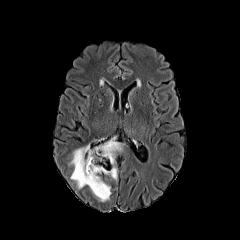
FLAIR MRI.
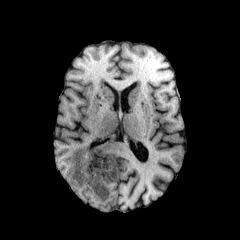
T1-weighted magnetic resonance of the same slice.
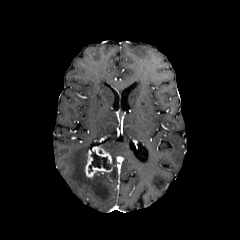
Same slice, post-contrast T1-weighted MRI.
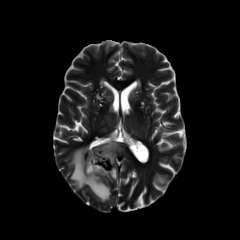
T2-weighted MR of the same slice.
Brain
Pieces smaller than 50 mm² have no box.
peritumoral edema = left=97, top=166, right=118, bottom=181; left=101, top=135, right=122, bottom=164; left=69, top=143, right=111, bottom=202
enhancing tumor = left=85, top=150, right=112, bottom=177; left=92, top=146, right=111, bottom=164
necrotic tumor core = left=88, top=151, right=111, bottom=173